FLAIR MR.
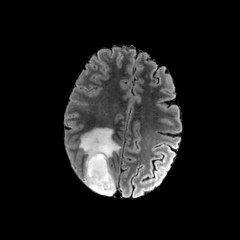
T1-weighted MR image.
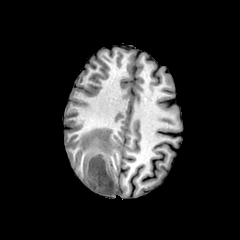
Post-contrast T1-weighted MRI.
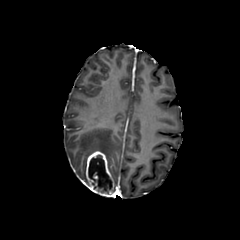
T2-weighted magnetic resonance.
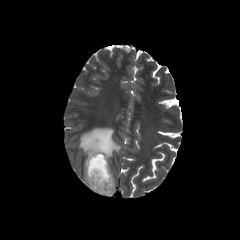
Head | Axial view | 240x240
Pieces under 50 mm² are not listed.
* necrotic tumor core: bbox(88, 155, 112, 193)
* peritumoral edema: bbox(78, 128, 120, 181)
* enhancing tumor: bbox(84, 151, 115, 196)